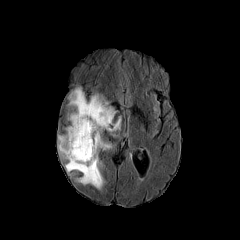
FLAIR magnetic resonance.
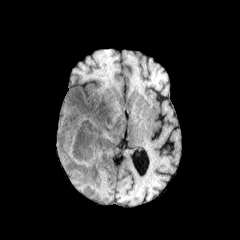
T1-weighted MR image of the same slice.
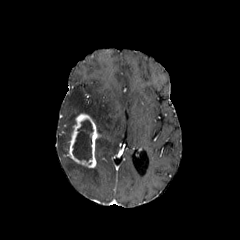
Post-contrast T1-weighted MR image.
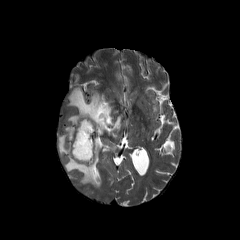
T2-weighted magnetic resonance.
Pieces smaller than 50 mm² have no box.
Findings:
* necrotic tumor core: region(73, 120, 93, 161)
* enhancing tumor: region(67, 113, 98, 167)
* peritumoral edema: region(58, 88, 120, 188)